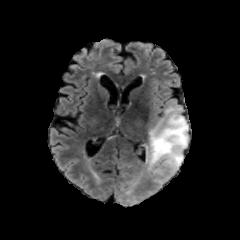
FLAIR MR image.
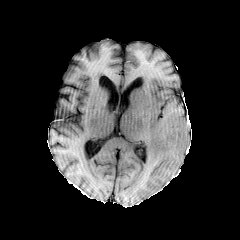
T1-weighted MR image.
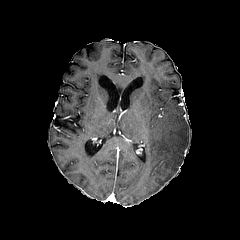
Post-contrast T1-weighted MR image of the same slice.
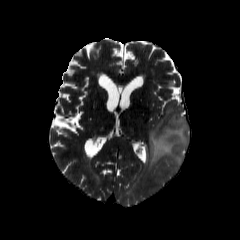
T2-weighted magnetic resonance.
Findings:
- peritumoral edema: bbox=[146, 108, 188, 175]